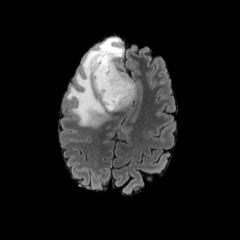
FLAIR MRI.
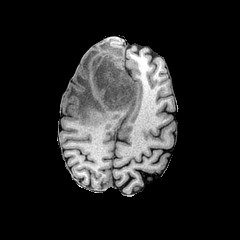
T1-weighted MRI.
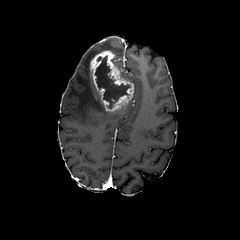
Post-contrast T1-weighted magnetic resonance of the same slice.
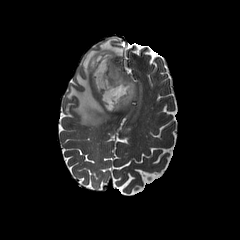
T2-weighted MR of the same slice.
Head
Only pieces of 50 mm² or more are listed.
The largest enhancing tumor region lies within 89 50 134 111. The largest necrotic tumor core region appears at 95 56 130 108. The 2 largest peritumoral edema regions appear at 119 71 135 110, 67 37 123 127.